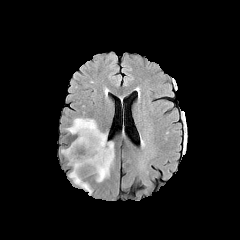
FLAIR MR.
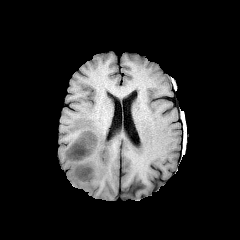
T1-weighted MR image.
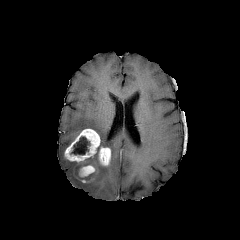
Post-contrast T1-weighted MR.
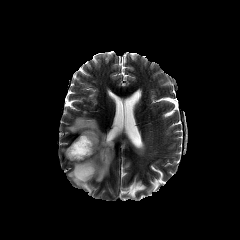
Same slice, T2-weighted magnetic resonance.
Axial slice
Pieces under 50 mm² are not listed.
The enhancing tumor appears at bbox(64, 129, 110, 182). The necrotic tumor core is bounded by bbox(70, 136, 90, 154). The 2 largest peritumoral edema regions appear at bbox(67, 118, 114, 182); bbox(68, 161, 92, 195).